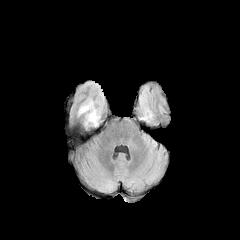
FLAIR MR image.
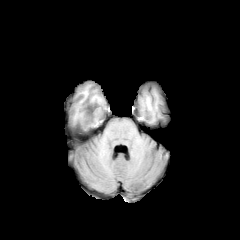
Same slice, T1-weighted MR.
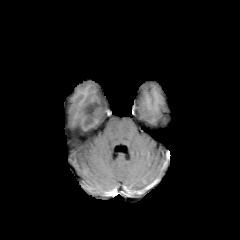
Same slice, post-contrast T1-weighted MR.
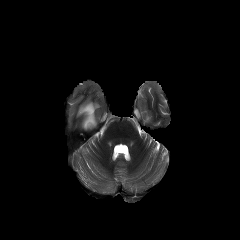
Same slice, T2-weighted magnetic resonance.
240x240; Axial plane; Brain
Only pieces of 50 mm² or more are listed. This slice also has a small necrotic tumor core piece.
Segmented structures:
• peritumoral edema: x1=77, y1=99, x2=100, y2=126
• enhancing tumor: x1=80, y1=114, x2=97, y2=130